Head; Axial slice; 240x240; Slice 66/155
FLAIR MR image.
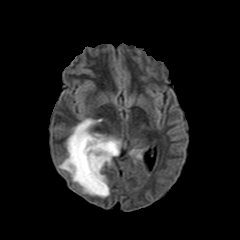
T1-weighted magnetic resonance.
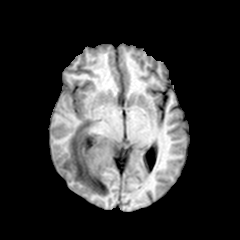
Post-contrast T1-weighted MR image.
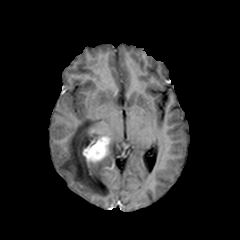
T2-weighted MR.
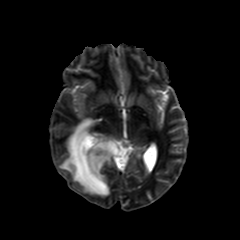
2 peritumoral edema regions are located at 59,118,121,197; 130,149,141,158. The enhancing tumor is at 82,136,110,164.